FLAIR magnetic resonance.
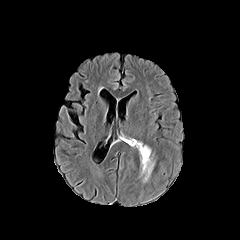
T1-weighted MR image.
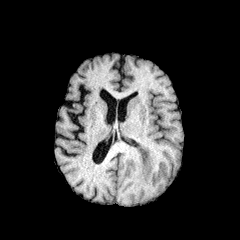
Post-contrast T1-weighted magnetic resonance.
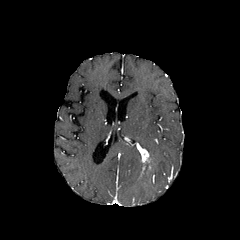
T2-weighted MR image.
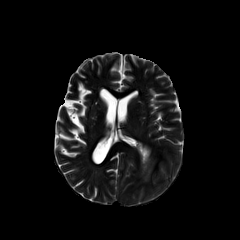
Axial plane; Brain
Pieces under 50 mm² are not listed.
The 2 largest peritumoral edema regions appear at box=[141, 157, 153, 181]; box=[138, 142, 150, 154]. The enhancing tumor is bounded by box=[137, 145, 149, 170].